FLAIR MR.
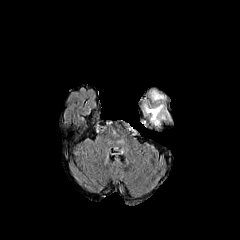
T1-weighted magnetic resonance.
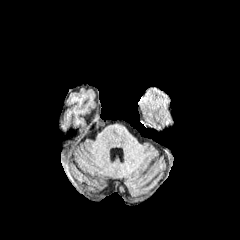
Post-contrast T1-weighted MR image.
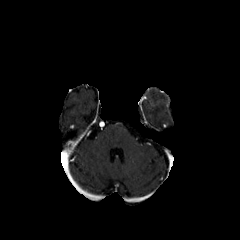
T2-weighted MRI.
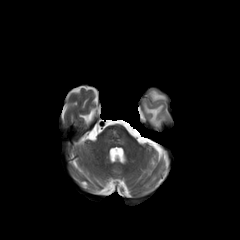
Axial slice; 240x240 px
Findings:
• peritumoral edema: bbox=[150, 90, 164, 101]; bbox=[144, 104, 168, 126]